Axial plane, Slice 109/155, Brain, Image covers 240 mm x 240 mm
FLAIR MR image.
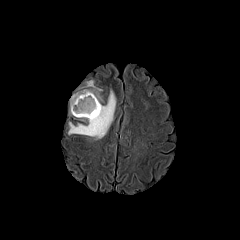
T1-weighted MRI.
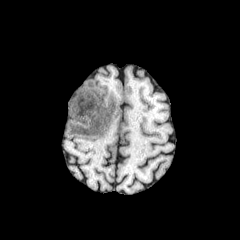
Post-contrast T1-weighted MRI.
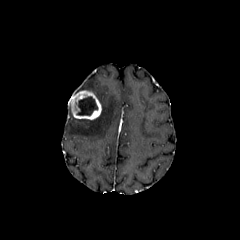
T2-weighted MR image.
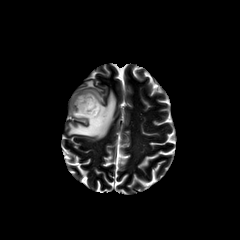
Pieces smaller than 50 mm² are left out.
Annotated regions:
• necrotic tumor core: [77, 96, 97, 115]
• enhancing tumor: [69, 90, 101, 120]
• peritumoral edema: [68, 90, 116, 139], [80, 80, 103, 102]